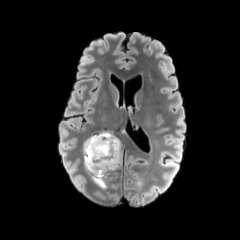
FLAIR magnetic resonance.
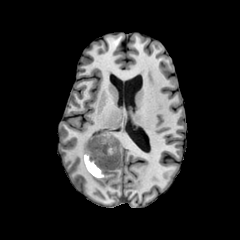
T1-weighted MRI.
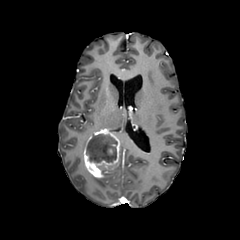
Same slice, post-contrast T1-weighted magnetic resonance.
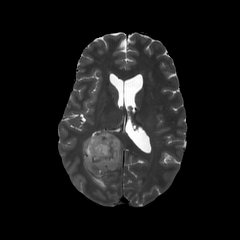
T2-weighted MRI.
Axial plane, Brain
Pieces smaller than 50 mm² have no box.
necrotic_tumor_core:
  - 87,134,117,162
enhancing_tumor:
  - 83,130,120,178
peritumoral_edema:
  - 81,136,89,170
  - 90,171,112,189
  - 109,130,124,169